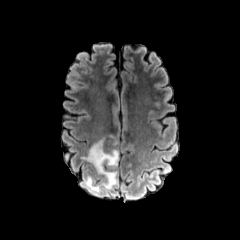
FLAIR MR.
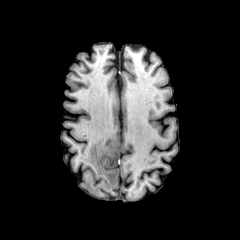
T1-weighted magnetic resonance.
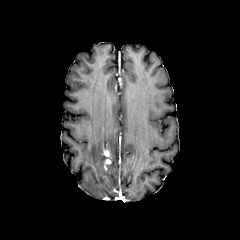
Post-contrast T1-weighted magnetic resonance.
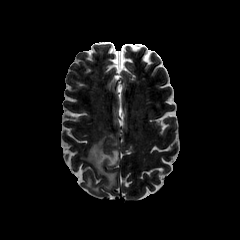
T2-weighted MR.
Brain | Axial slice
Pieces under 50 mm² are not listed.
<segmentation>
  <enhancing_tumor>bbox=[101, 149, 112, 167]</enhancing_tumor>
  <peritumoral_edema>bbox=[82, 138, 118, 194]</peritumoral_edema>
</segmentation>